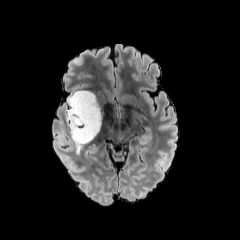
FLAIR MRI.
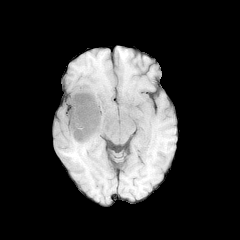
Same slice, T1-weighted MRI.
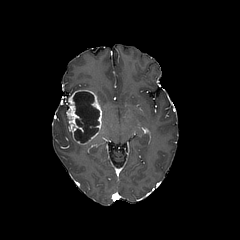
Post-contrast T1-weighted magnetic resonance of the same slice.
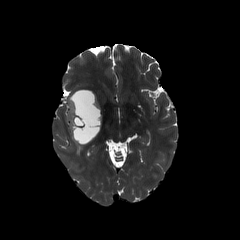
T2-weighted MRI of the same slice.
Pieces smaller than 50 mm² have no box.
necrotic tumor core: [73, 91, 99, 142] | enhancing tumor: [67, 89, 101, 144] | peritumoral edema: [70, 132, 83, 153]